Slice index 84 | Head
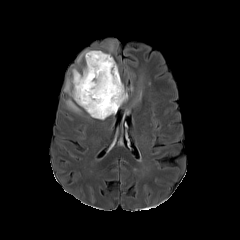
FLAIR MR image.
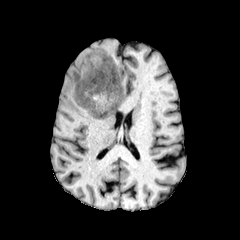
T1-weighted magnetic resonance of the same slice.
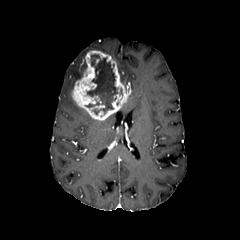
Post-contrast T1-weighted MRI.
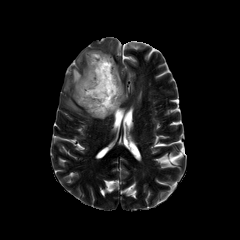
Same slice, T2-weighted magnetic resonance.
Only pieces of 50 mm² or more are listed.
<segmentation>
  <peritumoral_edema>{"x1": 66, "y1": 99, "x2": 81, "y2": 113}, {"x1": 64, "y1": 68, "x2": 82, "y2": 96}</peritumoral_edema>
  <necrotic_tumor_core>{"x1": 87, "y1": 54, "x2": 117, "y2": 114}</necrotic_tumor_core>
  <enhancing_tumor>{"x1": 72, "y1": 50, "x2": 129, "y2": 120}</enhancing_tumor>
</segmentation>